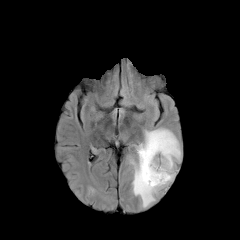
FLAIR MR.
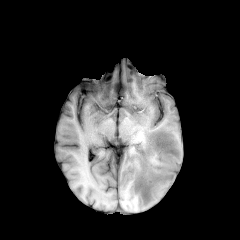
T1-weighted MRI of the same slice.
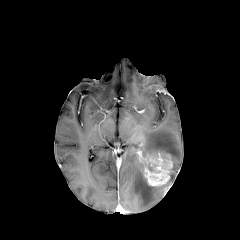
Post-contrast T1-weighted MRI of the same slice.
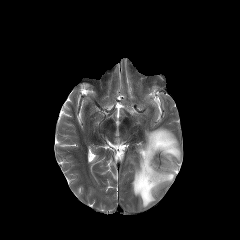
T2-weighted MR image of the same slice.
Head
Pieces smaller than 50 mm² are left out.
enhancing tumor = [x1=137, y1=150, x2=173, y2=186]
peritumoral edema = [x1=130, y1=128, x2=182, y2=208]